Image size 240x240, Axial slice
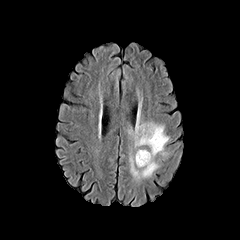
FLAIR MR.
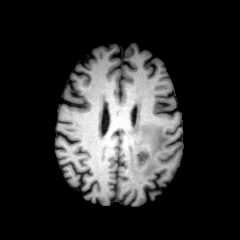
T1-weighted MR of the same slice.
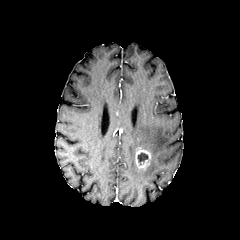
Post-contrast T1-weighted MRI.
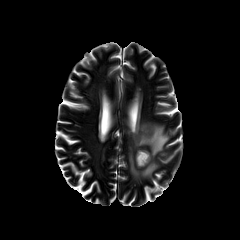
Same slice, T2-weighted MR.
necrotic tumor core: (138, 153, 148, 164) | peritumoral edema: (129, 122, 170, 179) | enhancing tumor: (135, 149, 150, 169)